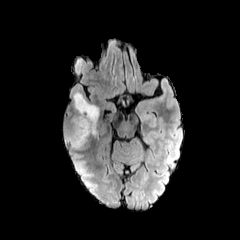
FLAIR MR image.
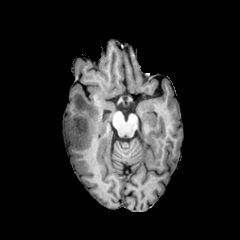
T1-weighted magnetic resonance.
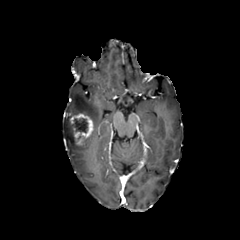
Same slice, post-contrast T1-weighted MR.
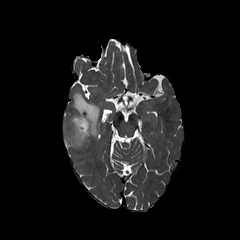
T2-weighted MR image of the same slice.
Brain
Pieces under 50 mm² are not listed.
<segmentation>
  <enhancing_tumor>(69,113,93,145)</enhancing_tumor>
  <necrotic_tumor_core>(72,117,89,133)</necrotic_tumor_core>
  <peritumoral_edema>(63,92,99,148)</peritumoral_edema>
</segmentation>